Image size 240x240
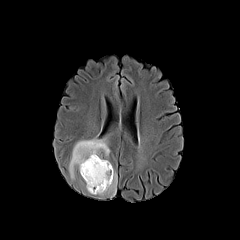
FLAIR MR.
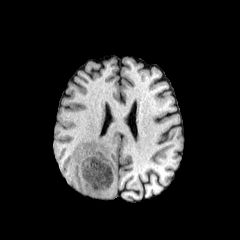
Same slice, T1-weighted MR.
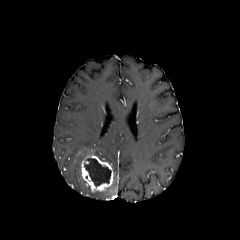
Same slice, post-contrast T1-weighted MR image.
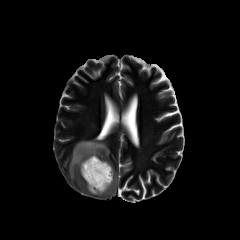
T2-weighted magnetic resonance.
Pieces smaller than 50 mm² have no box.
peritumoral edema: bounding box 69,138,110,181; 92,174,116,197
enhancing tumor: bounding box 81,155,114,191
necrotic tumor core: bounding box 84,158,111,186